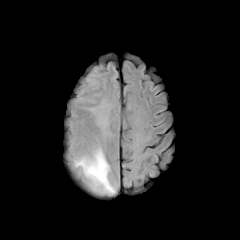
FLAIR MR image.
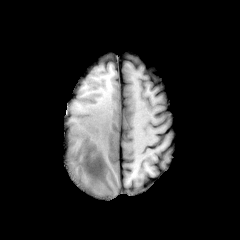
Same slice, T1-weighted MR.
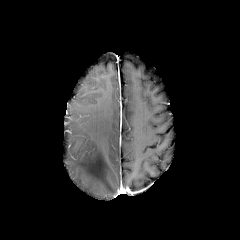
Same slice, post-contrast T1-weighted MRI.
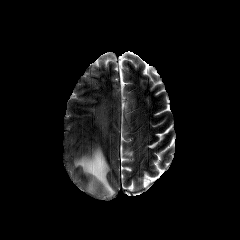
Same slice, T2-weighted magnetic resonance.
Brain
peritumoral edema: [x1=74, y1=148, x2=115, y2=194]